Brain
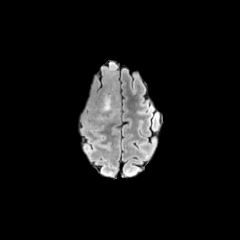
FLAIR magnetic resonance.
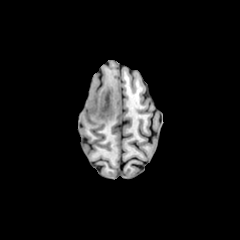
T1-weighted MR of the same slice.
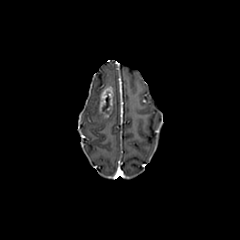
Post-contrast T1-weighted MR of the same slice.
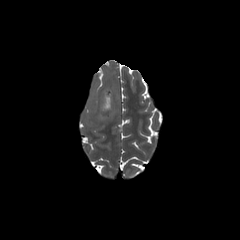
T2-weighted MRI.
<segmentation>
  <necrotic_tumor_core>bbox=[102, 96, 109, 113]</necrotic_tumor_core>
  <enhancing_tumor>bbox=[99, 86, 113, 118]</enhancing_tumor>
</segmentation>